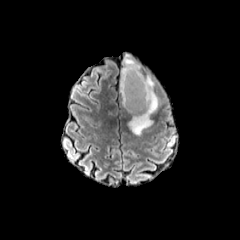
FLAIR MR image.
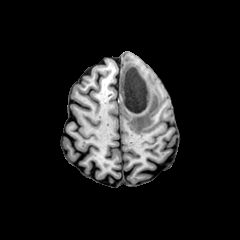
T1-weighted MR of the same slice.
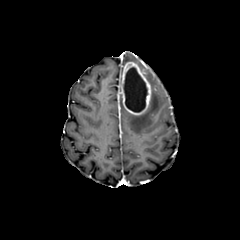
Post-contrast T1-weighted MR image.
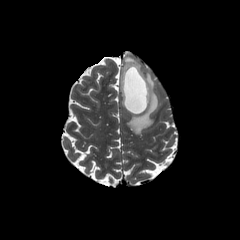
T2-weighted MRI.
240x240.
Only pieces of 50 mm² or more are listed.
The 2 largest peritumoral edema regions are bounded by [x1=128, y1=73, x2=158, y2=135], [x1=123, y1=54, x2=140, y2=68]. The necrotic tumor core is located at [x1=123, y1=67, x2=147, y2=112]. The enhancing tumor appears at [x1=120, y1=62, x2=151, y2=115].